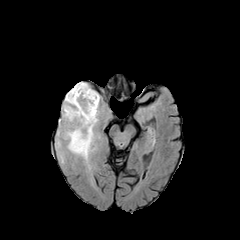
FLAIR magnetic resonance.
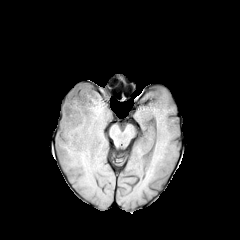
Same slice, T1-weighted MRI.
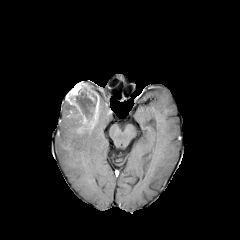
Post-contrast T1-weighted MR.
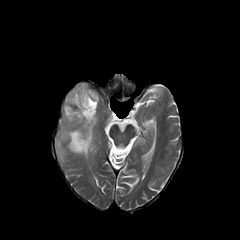
Same slice, T2-weighted MR.
240x240 px.
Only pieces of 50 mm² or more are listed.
peritumoral edema = {"x1": 63, "y1": 101, "x2": 95, "y2": 159}
necrotic tumor core = {"x1": 76, "y1": 92, "x2": 96, "y2": 118}
enhancing tumor = {"x1": 65, "y1": 82, "x2": 99, "y2": 132}